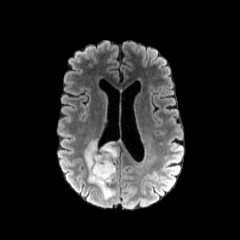
FLAIR MR image.
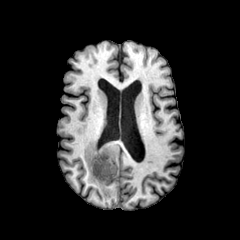
Same slice, T1-weighted MRI.
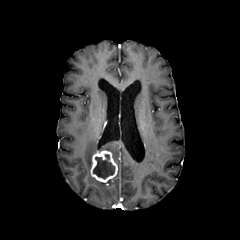
Same slice, post-contrast T1-weighted MR image.
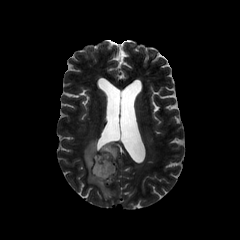
T2-weighted MRI.
Brain. Image size 240x240.
peritumoral edema = x1=84, y1=139, x2=117, y2=197
enhancing tumor = x1=90, y1=150, x2=117, y2=182
necrotic tumor core = x1=93, y1=154, x2=115, y2=179